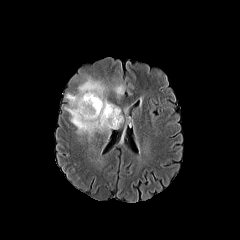
FLAIR magnetic resonance.
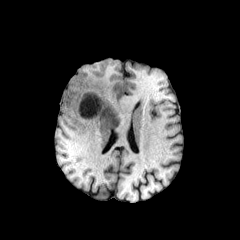
T1-weighted MR.
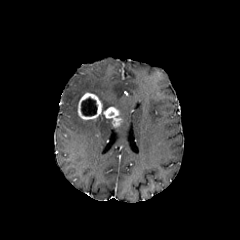
Same slice, post-contrast T1-weighted MRI.
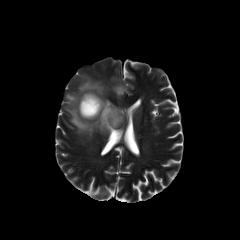
T2-weighted magnetic resonance.
Brain
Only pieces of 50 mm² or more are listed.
2 enhancing tumor regions are located at [77, 92, 102, 119], [103, 106, 122, 127]. The necrotic tumor core appears at [81, 97, 97, 116]. The 2 largest peritumoral edema regions are bounded by [112, 84, 124, 96], [64, 69, 123, 136].